Brain, Image size 240x240, Slice 77/155
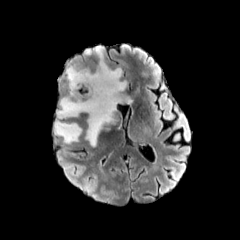
FLAIR magnetic resonance.
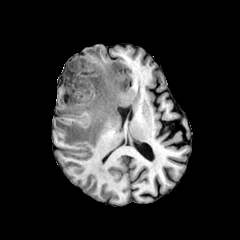
T1-weighted MR.
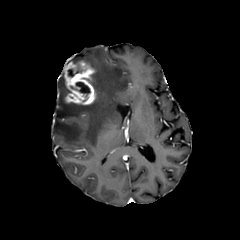
Post-contrast T1-weighted magnetic resonance of the same slice.
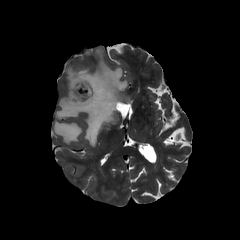
T2-weighted MRI.
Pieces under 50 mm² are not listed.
necrotic tumor core: region(76, 82, 90, 93) | enhancing tumor: region(64, 61, 96, 104) | peritumoral edema: region(54, 46, 132, 146)